Slice 60 of 155, Axial slice, Brain
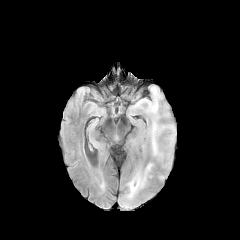
FLAIR MR.
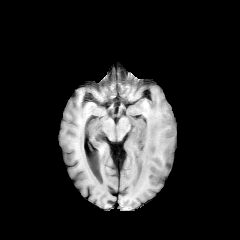
T1-weighted MRI.
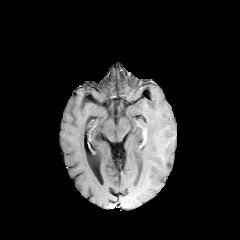
Post-contrast T1-weighted MRI.
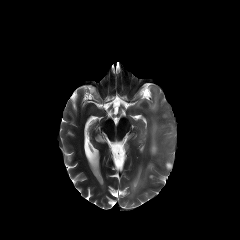
T2-weighted MR.
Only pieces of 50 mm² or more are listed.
peritumoral edema: bounding box 151 121 158 155, 129 178 142 191